FLAIR MRI.
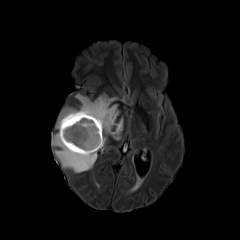
T1-weighted MR image.
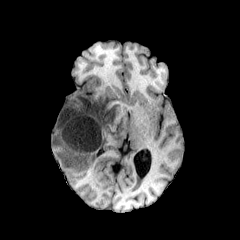
Post-contrast T1-weighted magnetic resonance.
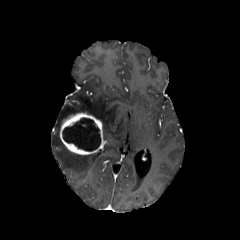
T2-weighted MR.
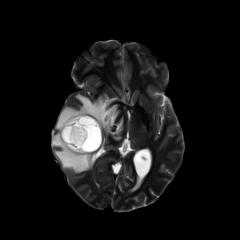
Axial slice; Head
peritumoral edema: x1=52, y1=93, x2=123, y2=173 | necrotic tumor core: x1=62, y1=117, x2=100, y2=151 | enhancing tumor: x1=59, y1=112, x2=105, y2=154